Slice 81/155. Axial slice. Head.
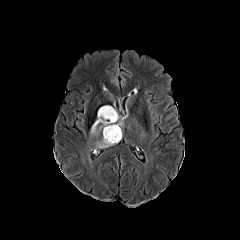
FLAIR magnetic resonance.
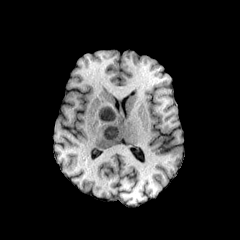
T1-weighted magnetic resonance.
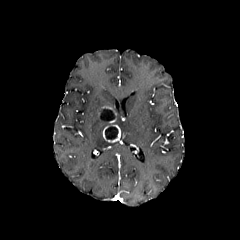
Post-contrast T1-weighted MR image of the same slice.
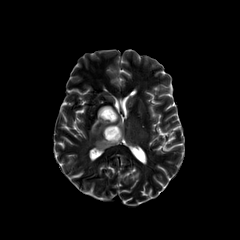
T2-weighted MR image of the same slice.
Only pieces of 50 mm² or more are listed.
enhancing tumor — {"x1": 100, "y1": 106, "x2": 120, "y2": 142}
necrotic tumor core — {"x1": 105, "y1": 126, "x2": 118, "y2": 139}, {"x1": 100, "y1": 108, "x2": 115, "y2": 121}
peritumoral edema — {"x1": 95, "y1": 138, "x2": 117, "y2": 148}, {"x1": 90, "y1": 113, "x2": 106, "y2": 135}